FLAIR MRI.
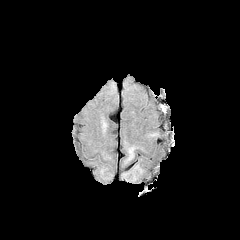
T1-weighted MR image.
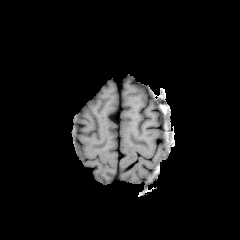
Post-contrast T1-weighted magnetic resonance.
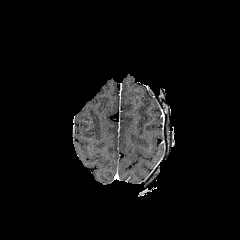
T2-weighted MR.
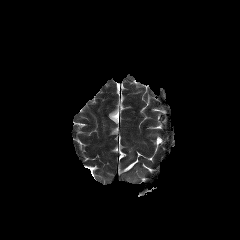
Brain. Axial view.
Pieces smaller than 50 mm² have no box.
- peritumoral edema: 127 146 135 160